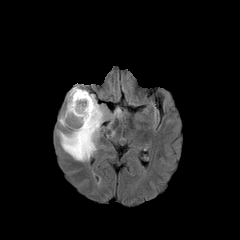
FLAIR MR image.
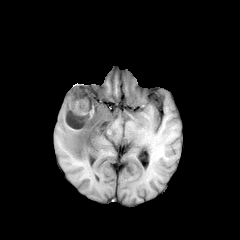
T1-weighted MR image.
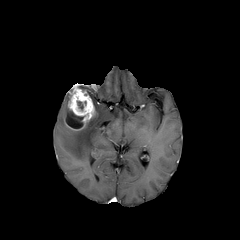
Post-contrast T1-weighted magnetic resonance of the same slice.
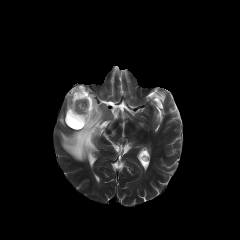
T2-weighted MRI of the same slice.
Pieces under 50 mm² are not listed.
necrotic tumor core: bounding box [66,111,83,128]
peritumoral edema: bounding box [110,108,121,118], [58,94,107,161], [59,106,68,126]
enhancing tumor: bounding box [65,85,96,130]